Image width 240 mm, 1.00 mm slice spacing, 240x240
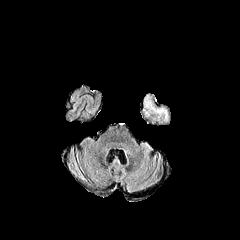
FLAIR MR image.
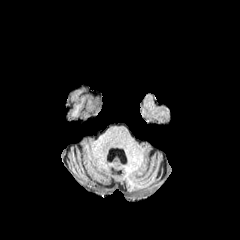
Same slice, T1-weighted MRI.
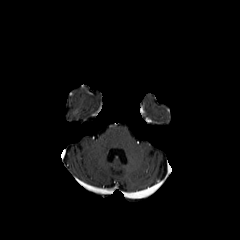
Post-contrast T1-weighted MR image of the same slice.
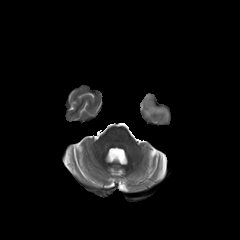
Same slice, T2-weighted magnetic resonance.
peritumoral_edema:
  - 145 99 167 120